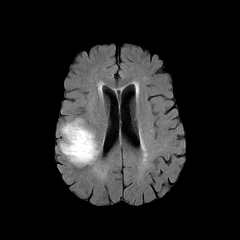
FLAIR MRI.
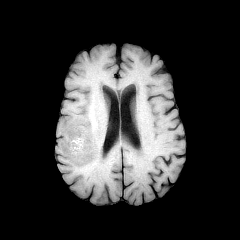
Same slice, T1-weighted MRI.
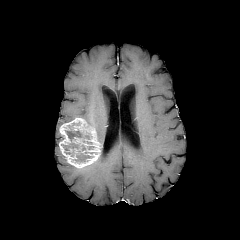
Post-contrast T1-weighted MRI of the same slice.
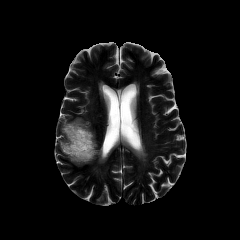
T2-weighted MR image.
Brain, Axial view
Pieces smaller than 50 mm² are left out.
{
  "enhancing_tumor": [
    "59 117 101 168"
  ],
  "necrotic_tumor_core": [
    "62 143 92 162",
    "65 129 89 142"
  ]
}